Head | 240x240 px | Slice 84/155
FLAIR MR image.
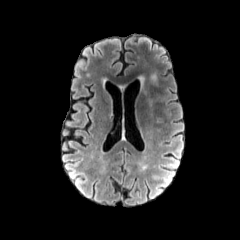
T1-weighted magnetic resonance.
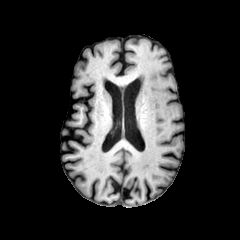
Post-contrast T1-weighted MRI.
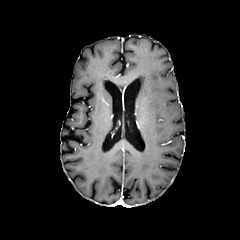
T2-weighted magnetic resonance.
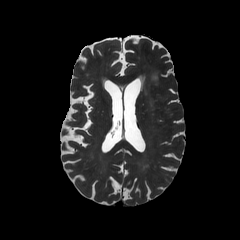
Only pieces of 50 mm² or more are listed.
peritumoral edema — [150,71,158,85]